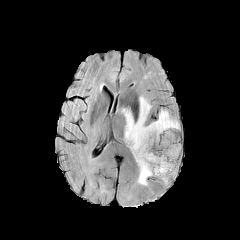
FLAIR MR image.
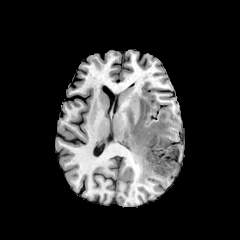
T1-weighted MRI.
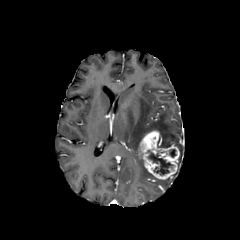
Post-contrast T1-weighted magnetic resonance.
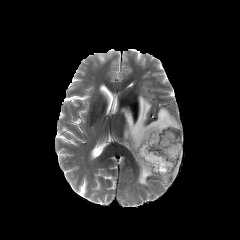
T2-weighted MR of the same slice.
Axial plane
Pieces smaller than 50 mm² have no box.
<segmentation>
  <peritumoral_edema>[121,95,179,185]</peritumoral_edema>
  <necrotic_tumor_core>[148,153,172,174]</necrotic_tumor_core>
  <enhancing_tumor>[138,130,179,179]</enhancing_tumor>
</segmentation>